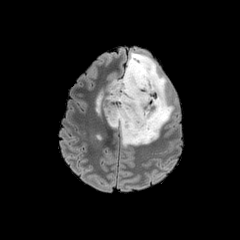
FLAIR MR.
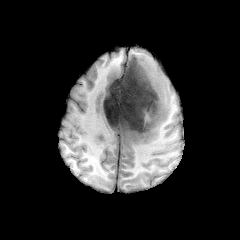
T1-weighted MR of the same slice.
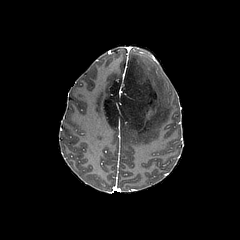
Post-contrast T1-weighted MR of the same slice.
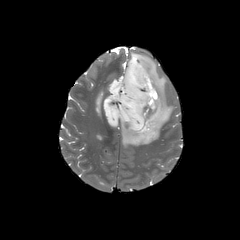
T2-weighted MRI.
Axial slice, 240x240
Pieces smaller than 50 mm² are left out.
<segmentation>
  <peritumoral_edema>bbox(96, 92, 102, 114); bbox(120, 52, 173, 147)</peritumoral_edema>
  <necrotic_tumor_core>bbox(104, 57, 156, 132)</necrotic_tumor_core>
</segmentation>